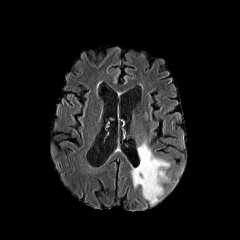
FLAIR MR image.
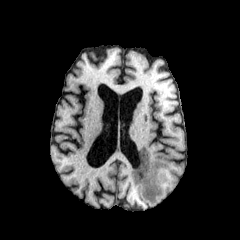
T1-weighted magnetic resonance of the same slice.
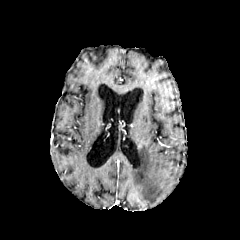
Post-contrast T1-weighted MR.
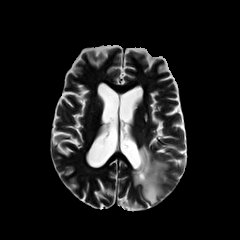
T2-weighted magnetic resonance of the same slice.
Axial plane. 240x240 px. Brain.
peritumoral edema: 131 141 169 204